Slice 84 of 155; Image width 240 mm; Axial slice
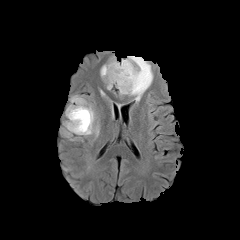
FLAIR MRI.
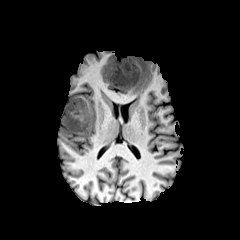
T1-weighted magnetic resonance.
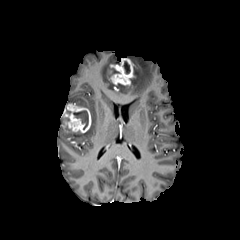
Post-contrast T1-weighted magnetic resonance.
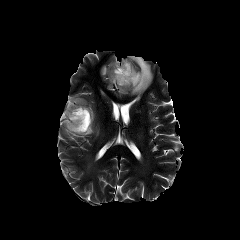
Same slice, T2-weighted magnetic resonance.
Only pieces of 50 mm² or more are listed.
<segmentation>
  <necrotic_tumor_core>box=[123, 61, 130, 73]; box=[108, 67, 119, 78]; box=[73, 110, 88, 129]</necrotic_tumor_core>
  <peritumoral_edema>box=[115, 56, 153, 101]; box=[100, 56, 119, 89]; box=[70, 96, 98, 135]</peritumoral_edema>
  <enhancing_tumor>box=[109, 58, 134, 85]; box=[63, 103, 91, 132]</enhancing_tumor>
</segmentation>